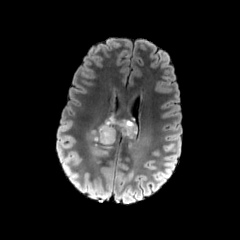
FLAIR MRI.
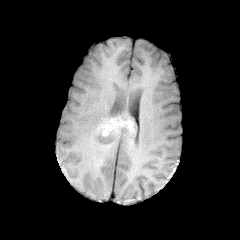
Same slice, T1-weighted magnetic resonance.
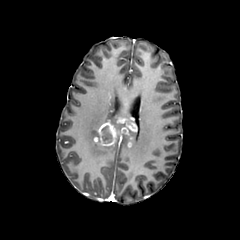
Same slice, post-contrast T1-weighted magnetic resonance.
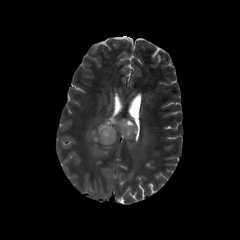
Same slice, T2-weighted MR.
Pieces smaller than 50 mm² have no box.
The largest necrotic tumor core region is at 101 125 112 143. The 3 largest peritumoral edema regions appear at 128 131 151 160, 105 115 125 131, 86 127 112 165. The largest enhancing tumor region is at 93 117 136 145.